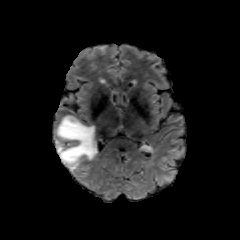
FLAIR MR.
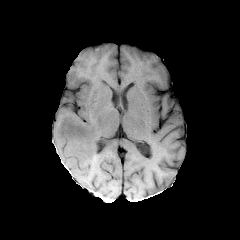
T1-weighted magnetic resonance.
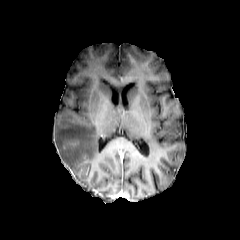
Post-contrast T1-weighted MRI.
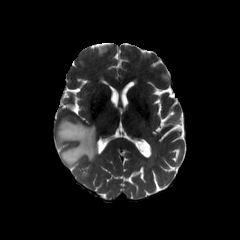
T2-weighted MR image.
Head. Axial view.
peritumoral edema: left=55, top=118, right=97, bottom=174